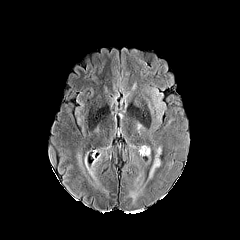
FLAIR MR.
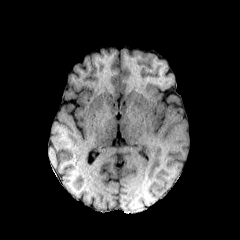
T1-weighted MR image.
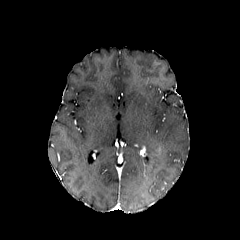
Post-contrast T1-weighted MR image.
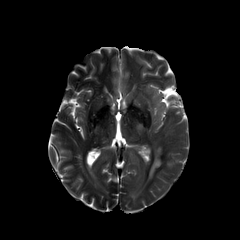
T2-weighted MRI of the same slice.
Head
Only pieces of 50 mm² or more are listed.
<segmentation>
  <peritumoral_edema>149:148:161:178</peritumoral_edema>
</segmentation>